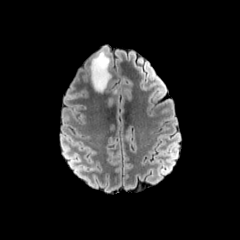
FLAIR MR image.
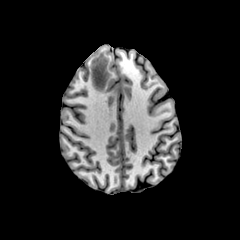
Same slice, T1-weighted MRI.
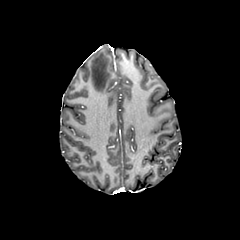
Post-contrast T1-weighted magnetic resonance of the same slice.
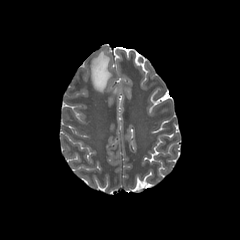
T2-weighted magnetic resonance.
Axial view
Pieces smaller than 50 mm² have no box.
<segmentation>
  <peritumoral_edema>91:49:110:92</peritumoral_edema>
</segmentation>